FLAIR MRI.
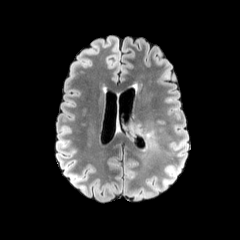
T1-weighted MR image.
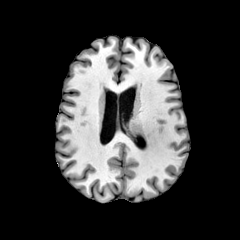
Post-contrast T1-weighted MR image.
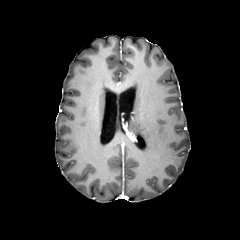
T2-weighted magnetic resonance.
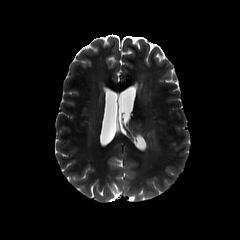
Brain | Axial slice
{
  "peritumoral_edema": [
    "left=130, top=124, right=157, bottom=153"
  ]
}